Slice 95/155; Axial view; Brain
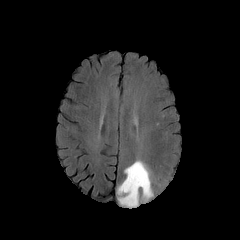
FLAIR magnetic resonance.
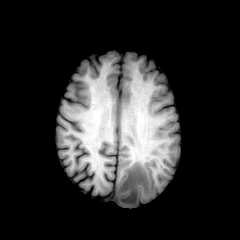
Same slice, T1-weighted MR.
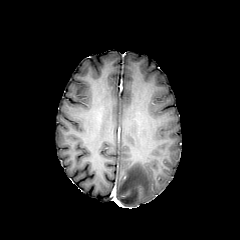
Post-contrast T1-weighted MRI of the same slice.
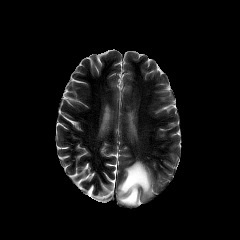
T2-weighted MR.
peritumoral edema: bounding box 117, 160, 153, 207